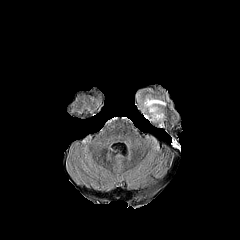
FLAIR MR.
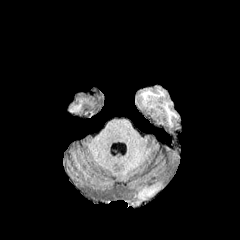
Same slice, T1-weighted MR image.
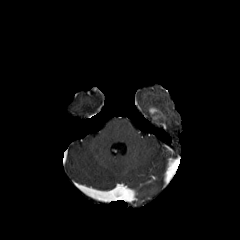
Post-contrast T1-weighted MRI of the same slice.
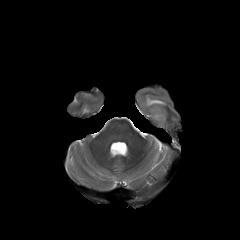
T2-weighted MR image.
Image size 240x240; Head
peritumoral edema at left=136, top=88, right=169, bottom=126
enhancing tumor at left=149, top=107, right=164, bottom=121